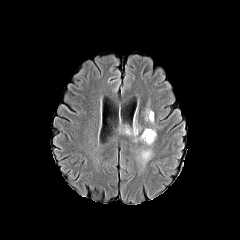
FLAIR MR.
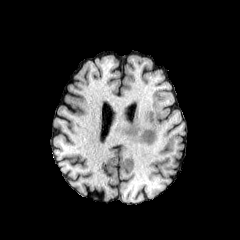
Same slice, T1-weighted magnetic resonance.
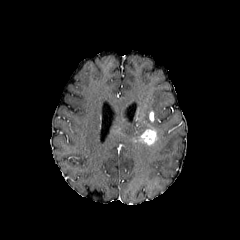
Post-contrast T1-weighted MR image of the same slice.
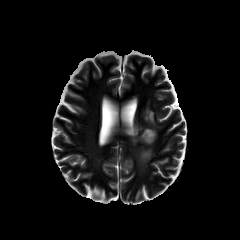
T2-weighted MR image.
240x240 px | Head
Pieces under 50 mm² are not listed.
<segmentation>
  <enhancing_tumor><bbox>138, 128, 156, 145</bbox></enhancing_tumor>
  <peritumoral_edema><bbox>145, 108, 160, 129</bbox>, <bbox>137, 147, 153, 167</bbox>, <bbox>119, 123, 141, 139</bbox></peritumoral_edema>
</segmentation>